Slice index 120; Image width 240 mm, 1.00 mm slice spacing; Head
FLAIR MR image.
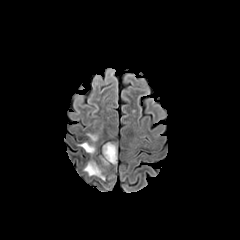
T1-weighted MRI.
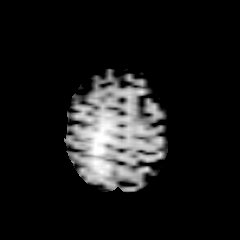
Post-contrast T1-weighted MR image.
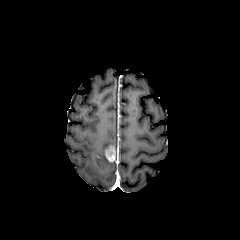
T2-weighted MR image.
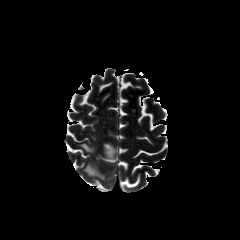
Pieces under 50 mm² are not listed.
The 3 largest peritumoral edema regions are bounded by l=79, t=143, r=95, b=153; l=84, t=162, r=104, b=180; l=103, t=143, r=114, b=155. The enhancing tumor lies within l=105, t=146, r=115, b=162.